Slice 50/155; Head; Image covers 240 mm x 240 mm
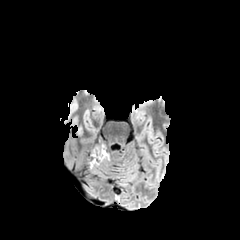
FLAIR MR.
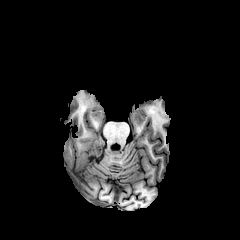
T1-weighted magnetic resonance.
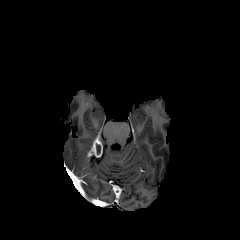
Post-contrast T1-weighted magnetic resonance of the same slice.
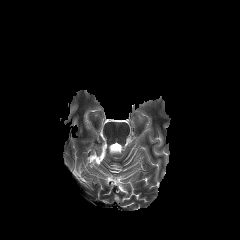
Same slice, T2-weighted MRI.
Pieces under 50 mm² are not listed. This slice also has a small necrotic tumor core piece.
The enhancing tumor is bounded by {"x1": 93, "y1": 141, "x2": 103, "y2": 157}. The peritumoral edema appears at {"x1": 88, "y1": 145, "x2": 110, "y2": 169}.